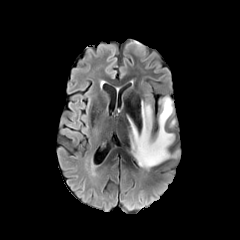
FLAIR magnetic resonance.
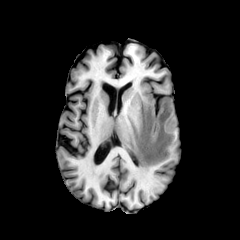
T1-weighted MR image of the same slice.
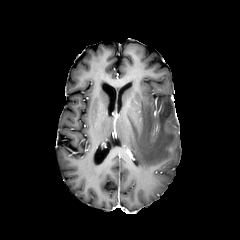
Same slice, post-contrast T1-weighted MR.
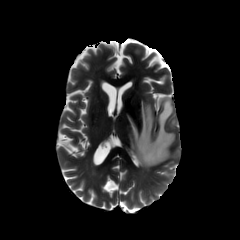
T2-weighted magnetic resonance of the same slice.
Axial slice
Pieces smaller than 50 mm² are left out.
<segmentation>
  <peritumoral_edema>x1=128 y1=97 x2=173 y2=170</peritumoral_edema>
</segmentation>